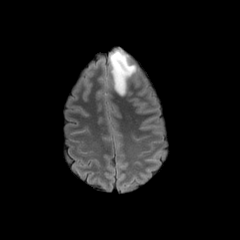
FLAIR MR image.
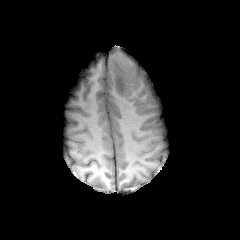
T1-weighted MR.
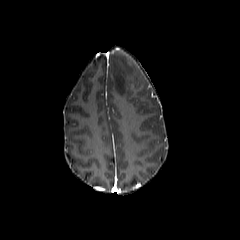
Post-contrast T1-weighted MRI.
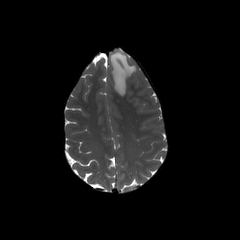
Same slice, T2-weighted MR image.
Image size 240x240. Brain.
The peritumoral edema is located at {"x1": 110, "y1": 50, "x2": 135, "y2": 95}.